FLAIR MR image.
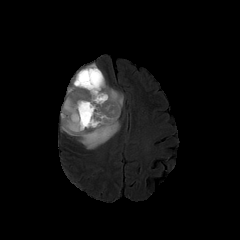
T1-weighted magnetic resonance.
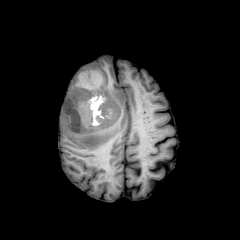
Post-contrast T1-weighted MR image.
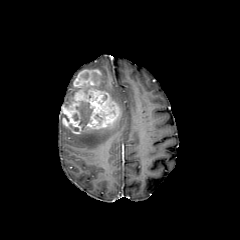
T2-weighted MRI.
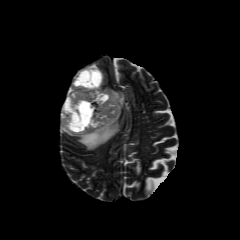
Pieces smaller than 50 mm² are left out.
peritumoral edema = (left=65, top=71, right=79, bottom=103), (left=60, top=114, right=120, bottom=149), (left=80, top=63, right=98, bottom=70), (left=95, top=73, right=124, bottom=110)
necrotic tumor core = (left=76, top=101, right=92, bottom=129), (left=92, top=72, right=101, bottom=82)
enhancing tumor = (left=61, top=69, right=120, bottom=133)